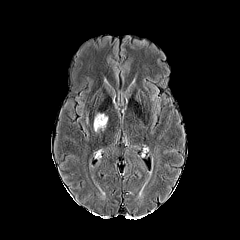
FLAIR MRI.
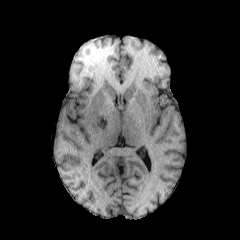
T1-weighted MR image.
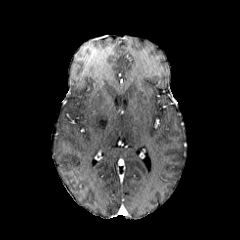
Post-contrast T1-weighted magnetic resonance of the same slice.
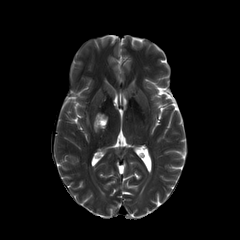
T2-weighted MR.
Image size 240x240. Head. Axial view.
peritumoral edema at 93,114,107,131